FLAIR magnetic resonance.
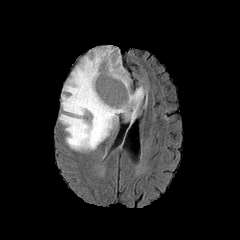
T1-weighted MR.
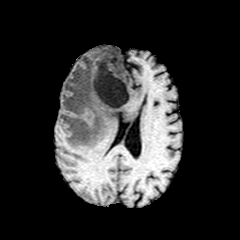
Post-contrast T1-weighted MRI.
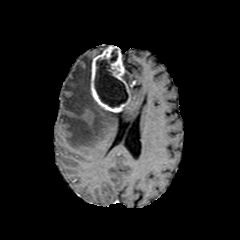
T2-weighted MRI.
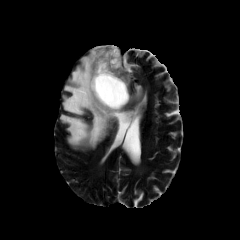
peritumoral_edema:
  - [120,86,144,122]
  - [59,46,119,150]
  - [123,71,130,89]
necrotic_tumor_core:
  - [94,49,128,107]
enhancing_tumor:
  - [90,45,130,112]